FLAIR MR.
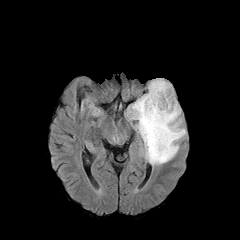
T1-weighted magnetic resonance.
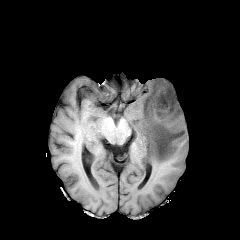
Post-contrast T1-weighted magnetic resonance.
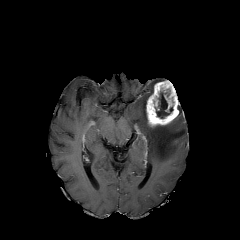
T2-weighted MR image.
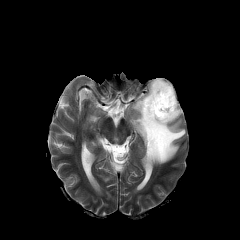
Head
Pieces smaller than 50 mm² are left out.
<segmentation>
  <necrotic_tumor_core>region(156, 92, 169, 118)</necrotic_tumor_core>
  <peritumoral_edema>region(128, 78, 186, 164)</peritumoral_edema>
  <enhancing_tumor>region(146, 80, 179, 127)</enhancing_tumor>
</segmentation>